FLAIR MRI.
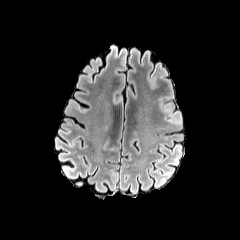
T1-weighted MR image.
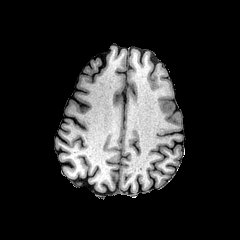
Post-contrast T1-weighted MR.
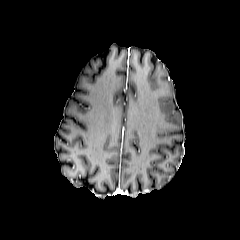
T2-weighted MRI.
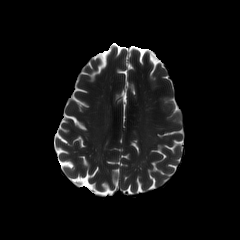
Findings:
* peritumoral edema: (left=156, top=94, right=183, bottom=123)